Slice index 64, Image width 240 mm, 1.00 mm slice spacing, Head, Axial view
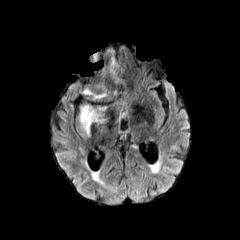
FLAIR MR image.
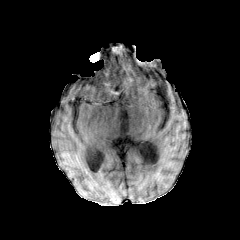
Same slice, T1-weighted MRI.
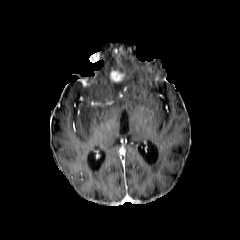
Post-contrast T1-weighted MRI.
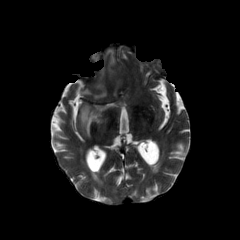
T2-weighted MR image.
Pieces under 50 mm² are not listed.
- peritumoral edema: rect(93, 93, 105, 98); rect(80, 105, 104, 134)
- enhancing tumor: rect(110, 70, 123, 83)